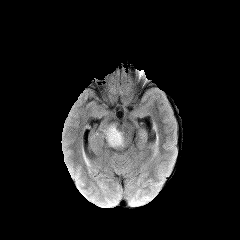
FLAIR magnetic resonance.
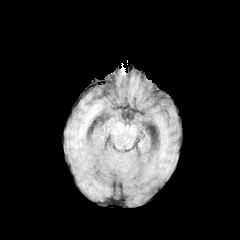
T1-weighted MRI of the same slice.
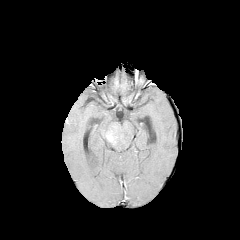
Post-contrast T1-weighted MR of the same slice.
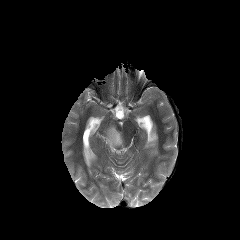
T2-weighted MR.
Axial slice
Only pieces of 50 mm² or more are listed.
Segmented structures:
- peritumoral edema: 104 125 123 147
- enhancing tumor: 106 133 115 142